Slice index 86, Head, Axial view
FLAIR MRI.
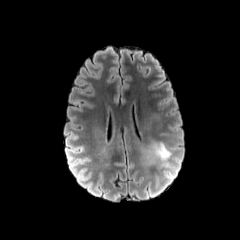
T1-weighted magnetic resonance.
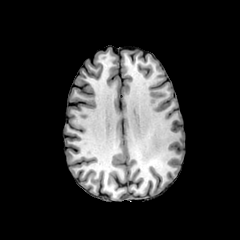
Post-contrast T1-weighted MR.
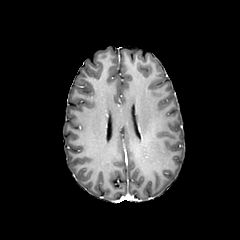
T2-weighted MR.
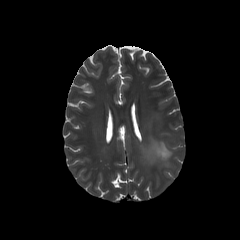
peritumoral edema = {"x1": 151, "y1": 142, "x2": 171, "y2": 163}